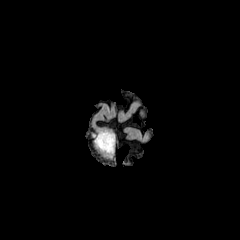
FLAIR MR image.
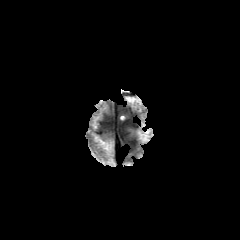
T1-weighted magnetic resonance.
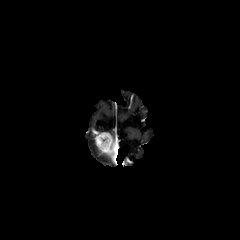
Post-contrast T1-weighted MRI.
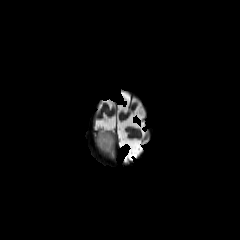
Same slice, T2-weighted MR image.
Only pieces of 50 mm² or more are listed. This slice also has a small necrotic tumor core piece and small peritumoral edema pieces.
enhancing tumor — 95:132:114:154